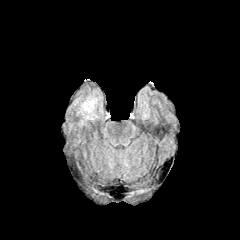
FLAIR magnetic resonance.
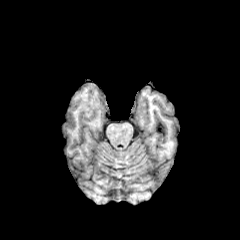
T1-weighted magnetic resonance of the same slice.
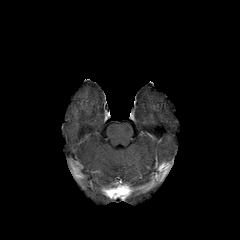
Post-contrast T1-weighted MR of the same slice.
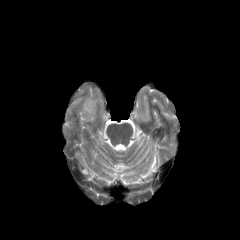
T2-weighted magnetic resonance.
Axial slice. Brain.
peritumoral edema: bounding box x1=73, y1=91, x2=102, y2=124